Head; Axial slice; Slice 119 of 155
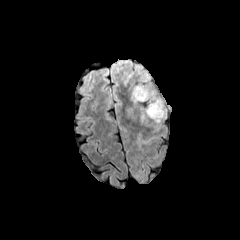
FLAIR MR image.
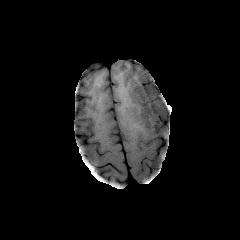
T1-weighted MR image.
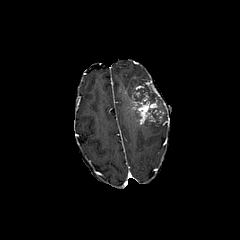
Post-contrast T1-weighted magnetic resonance.
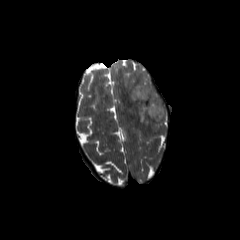
T2-weighted MR image.
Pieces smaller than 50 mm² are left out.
The 2 largest enhancing tumor regions appear at rect(160, 100, 166, 118); rect(126, 81, 161, 126). The largest necrotic tumor core region is at rect(136, 88, 163, 122). The largest peritumoral edema region is located at rect(122, 71, 150, 89).